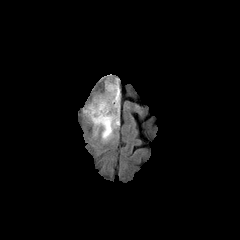
FLAIR MRI.
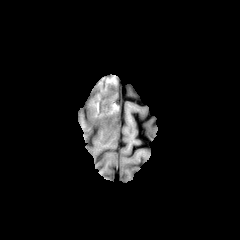
Same slice, T1-weighted MR.
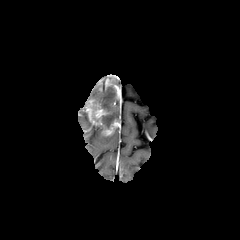
Post-contrast T1-weighted MR.
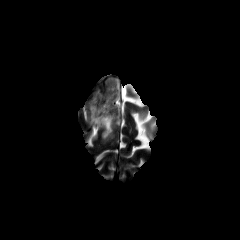
T2-weighted MR image.
Brain, Axial plane
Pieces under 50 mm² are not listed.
{"peritumoral_edema": ["[x1=101, y1=133, x2=114, y2=142]"], "enhancing_tumor": ["[x1=85, y1=79, x2=120, y2=135]"], "necrotic_tumor_core": ["[x1=93, y1=85, x2=119, y2=128]"]}